FLAIR MR.
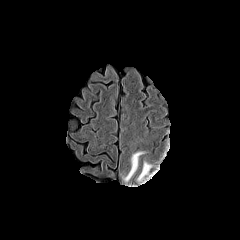
T1-weighted magnetic resonance.
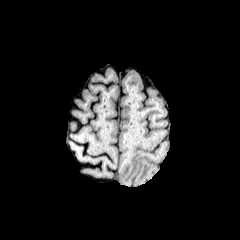
Post-contrast T1-weighted magnetic resonance.
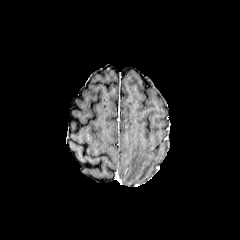
T2-weighted MRI.
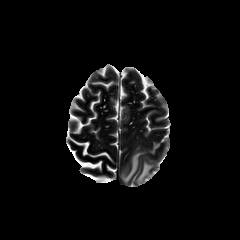
Brain, Axial plane
<segmentation>
  <peritumoral_edema>x1=137 y1=162 x2=155 y2=183, x1=122 y1=152 x2=143 y2=183</peritumoral_edema>
</segmentation>